240x240 px
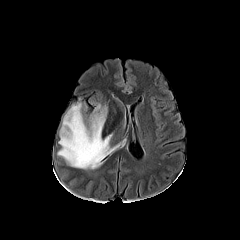
FLAIR MR image.
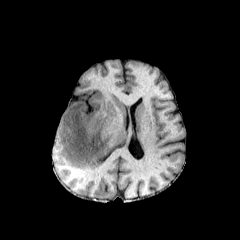
T1-weighted MR.
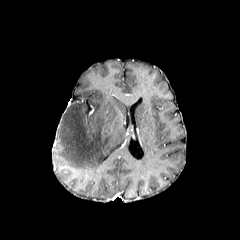
Post-contrast T1-weighted MRI of the same slice.
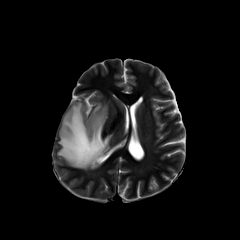
T2-weighted MRI.
{"peritumoral_edema": ["(57,102,119,169)"]}